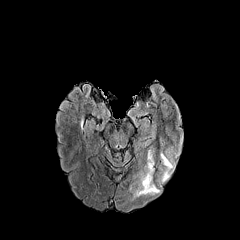
FLAIR MR image.
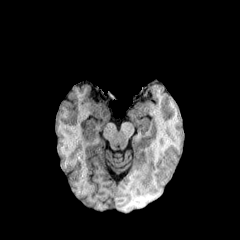
Same slice, T1-weighted MRI.
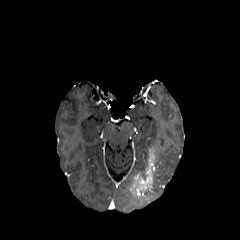
Post-contrast T1-weighted MR.
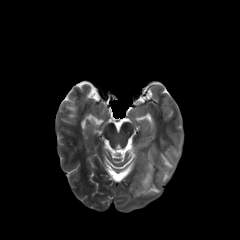
Same slice, T2-weighted MR image.
Axial slice, Brain
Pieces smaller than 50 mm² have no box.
{
  "enhancing_tumor": [
    "<bbox>130, 148, 154, 195</bbox>"
  ],
  "peritumoral_edema": [
    "<bbox>160, 153, 173, 182</bbox>",
    "<bbox>144, 183, 160, 194</bbox>"
  ]
}